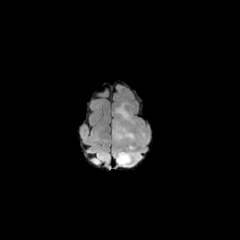
FLAIR MR.
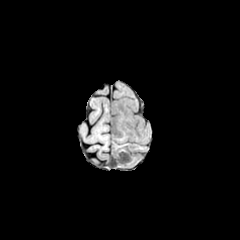
T1-weighted MR.
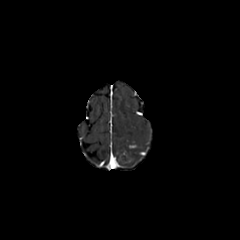
Post-contrast T1-weighted MR of the same slice.
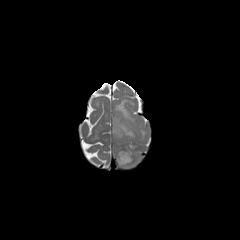
Same slice, T2-weighted magnetic resonance.
Head
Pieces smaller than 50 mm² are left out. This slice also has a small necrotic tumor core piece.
The largest enhancing tumor region is bounded by 118,151,132,163. 2 peritumoral edema regions are located at 114,146,140,166; 113,102,147,146.